Brain.
FLAIR MR.
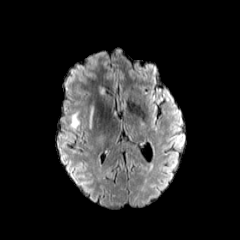
T1-weighted MR.
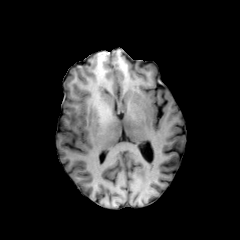
Post-contrast T1-weighted MRI.
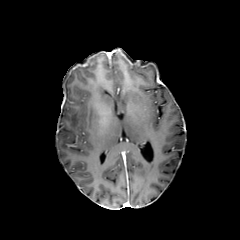
T2-weighted magnetic resonance.
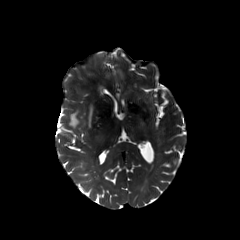
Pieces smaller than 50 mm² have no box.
peritumoral edema: box(89, 105, 94, 128); box(71, 111, 79, 128)